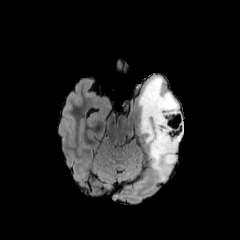
FLAIR MR.
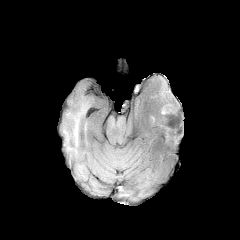
Same slice, T1-weighted MR.
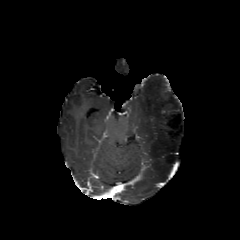
Post-contrast T1-weighted MR of the same slice.
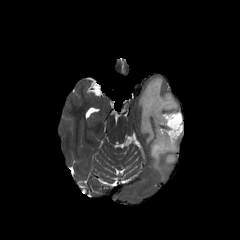
Same slice, T2-weighted MR image.
Head. Axial view.
The peritumoral edema is at <box>137,77,183,181</box>.